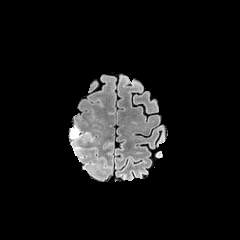
FLAIR MR.
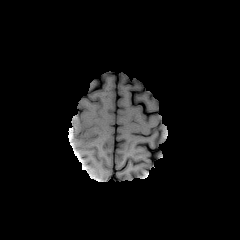
Same slice, T1-weighted magnetic resonance.
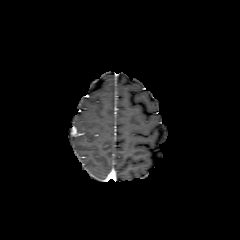
Same slice, post-contrast T1-weighted MR image.
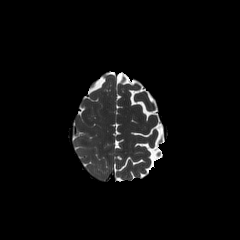
T2-weighted magnetic resonance of the same slice.
Axial view
peritumoral edema — (x1=70, y1=125, x2=89, y2=140)